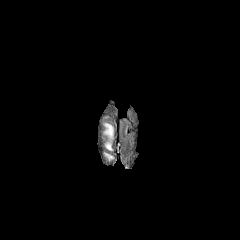
FLAIR MR.
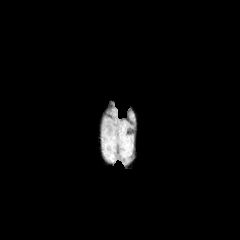
T1-weighted MR of the same slice.
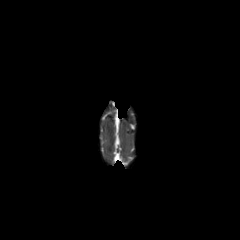
Same slice, post-contrast T1-weighted MR image.
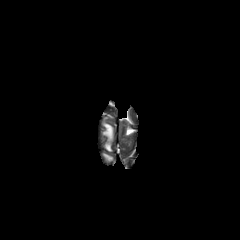
T2-weighted MRI of the same slice.
Brain; Axial slice
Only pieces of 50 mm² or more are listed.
The largest peritumoral edema region lies within (104,123,113,150).